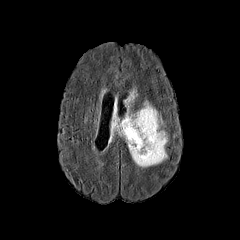
FLAIR magnetic resonance.
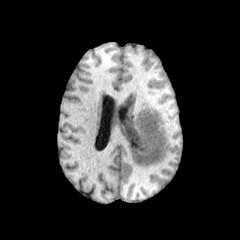
T1-weighted magnetic resonance.
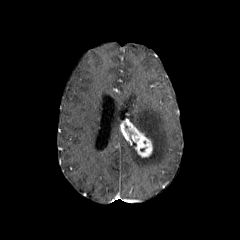
Post-contrast T1-weighted MRI.
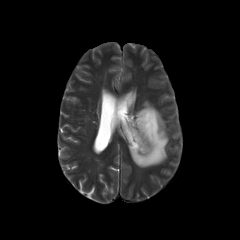
T2-weighted MRI.
Head, 240x240 px
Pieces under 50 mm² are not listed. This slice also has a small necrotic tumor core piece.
{"enhancing_tumor": ["[120,119,153,157]"], "peritumoral_edema": ["[126,101,167,167]", "[109,115,122,142]"]}